Brain
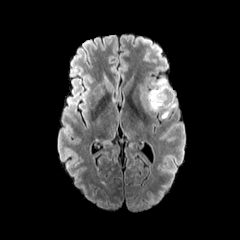
FLAIR MR.
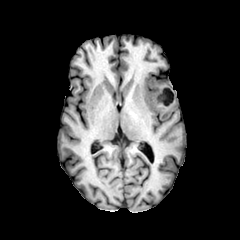
T1-weighted magnetic resonance.
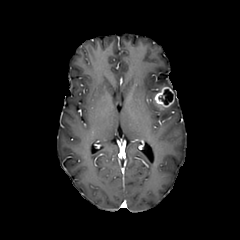
Post-contrast T1-weighted magnetic resonance of the same slice.
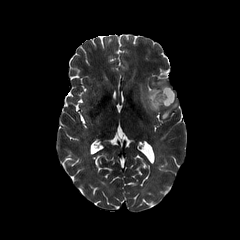
T2-weighted MR image of the same slice.
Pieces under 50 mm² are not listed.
<segmentation>
  <necrotic_tumor_core>158, 89, 173, 104</necrotic_tumor_core>
  <peritumoral_edema>162, 98, 176, 118; 137, 78, 169, 110</peritumoral_edema>
  <enhancing_tumor>153, 86, 175, 108</enhancing_tumor>
</segmentation>